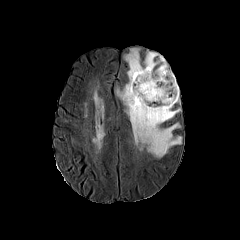
FLAIR magnetic resonance.
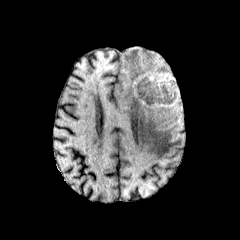
T1-weighted MRI of the same slice.
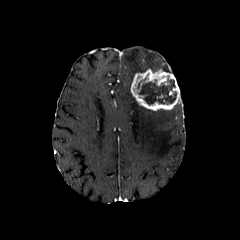
Post-contrast T1-weighted magnetic resonance.
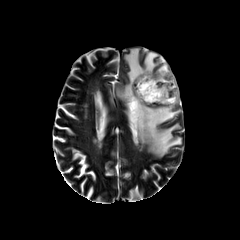
T2-weighted MR.
Axial view
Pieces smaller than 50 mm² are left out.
enhancing_tumor:
  - [130, 68, 180, 110]
necrotic_tumor_core:
  - [139, 79, 176, 104]
peritumoral_edema:
  - [116, 48, 181, 158]